Slice index 77.
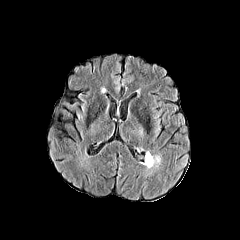
FLAIR MR image.
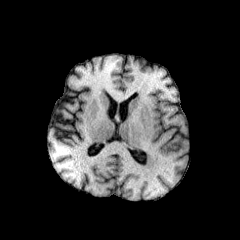
T1-weighted magnetic resonance of the same slice.
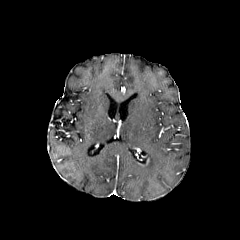
Post-contrast T1-weighted MRI of the same slice.
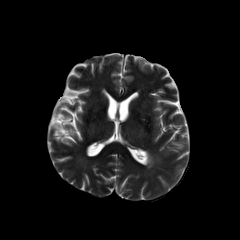
T2-weighted MRI.
{"peritumoral_edema": ["[x1=143, y1=151, x2=160, y2=168]"]}